Image covers 240 mm x 240 mm, Slice index 90, Axial plane, Brain
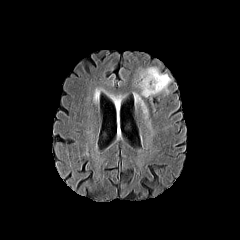
FLAIR MR.
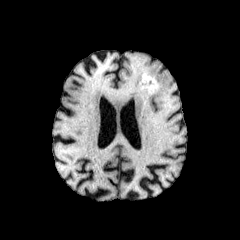
T1-weighted magnetic resonance.
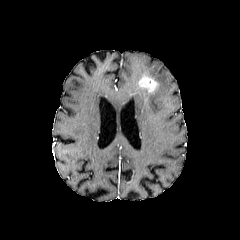
Post-contrast T1-weighted magnetic resonance.
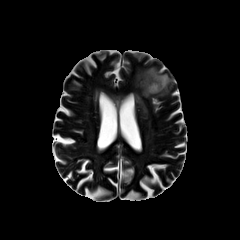
T2-weighted MRI.
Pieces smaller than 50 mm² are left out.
The 2 largest peritumoral edema regions are located at l=134, t=93, r=147, b=113; l=139, t=67, r=171, b=97. The enhancing tumor is at l=138, t=75, r=158, b=92.